Image size 240x240
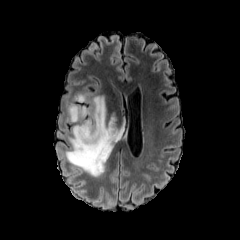
FLAIR MR.
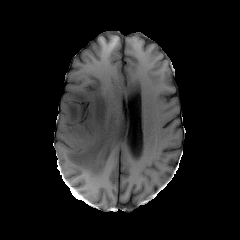
Same slice, T1-weighted MR image.
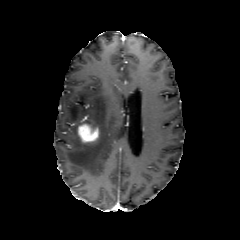
Post-contrast T1-weighted MRI of the same slice.
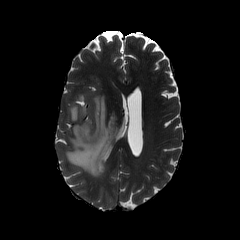
Same slice, T2-weighted MR.
peritumoral edema: [65,95,125,177], [67,104,87,122], [74,93,85,100]
enhancing tumor: [77,122,99,143]